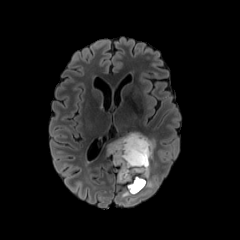
FLAIR MRI.
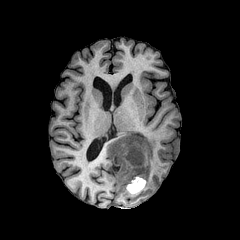
T1-weighted MRI of the same slice.
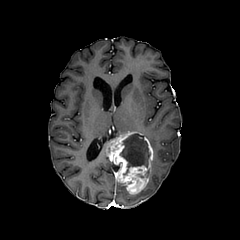
Post-contrast T1-weighted magnetic resonance.
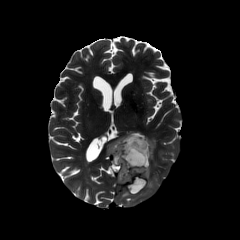
Same slice, T2-weighted MR.
240x240 | Axial plane
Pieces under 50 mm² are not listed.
The 2 largest peritumoral edema regions appear at 145, 178, 156, 188; 146, 137, 155, 150. The largest enhancing tumor region lies within 107, 131, 153, 194. The largest necrotic tumor core region is bounded by 120, 134, 150, 174.